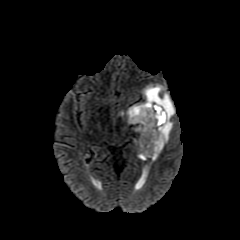
FLAIR MRI.
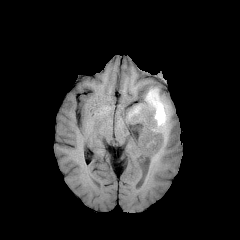
T1-weighted magnetic resonance.
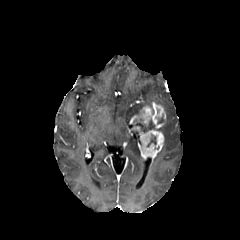
Post-contrast T1-weighted MR.
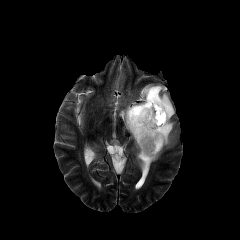
T2-weighted MR.
Head | 240x240 px
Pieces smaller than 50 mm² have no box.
The largest peritumoral edema region lies within 119 84 175 161. The enhancing tumor appears at 129 102 166 160. The largest necrotic tumor core region is located at 134 118 154 132.